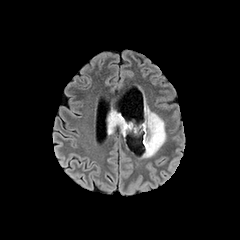
FLAIR MR.
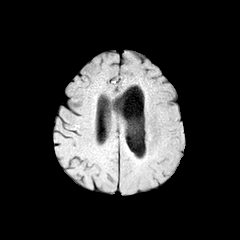
T1-weighted MR.
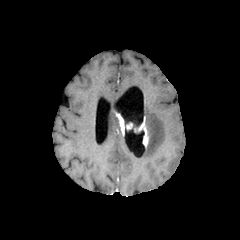
Same slice, post-contrast T1-weighted MR.
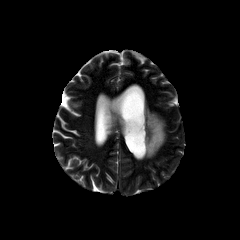
T2-weighted MR.
Head | Axial view
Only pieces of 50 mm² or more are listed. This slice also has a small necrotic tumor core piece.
enhancing_tumor:
  - 116,113,125,135
  - 126,122,148,147
peritumoral_edema:
  - 143,101,166,157
  - 107,110,119,134